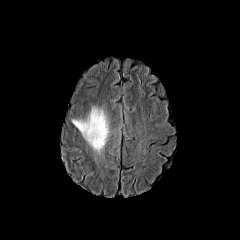
FLAIR MRI.
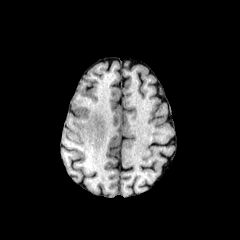
T1-weighted MR image of the same slice.
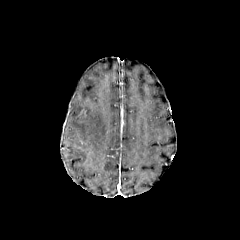
Same slice, post-contrast T1-weighted MR.
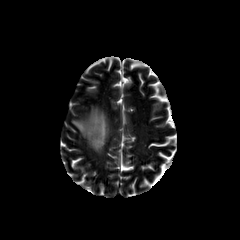
T2-weighted magnetic resonance.
Image size 240x240 | Axial view
<segmentation>
  <peritumoral_edema>(x1=72, y1=107, x2=109, y2=152)</peritumoral_edema>
</segmentation>